Axial view; Head; Slice index 58
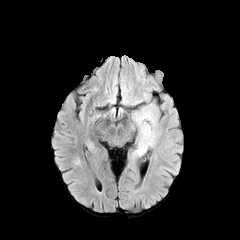
FLAIR MR.
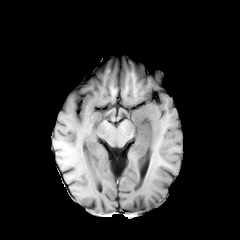
T1-weighted MR image.
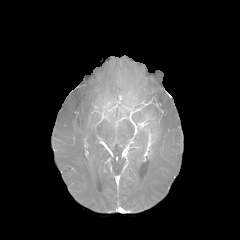
Post-contrast T1-weighted MRI.
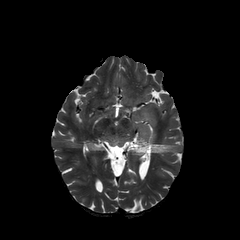
T2-weighted MR.
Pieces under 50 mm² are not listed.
Findings:
* enhancing tumor: [134,113,156,145]
* peritumoral edema: [133,131,147,156], [132,104,159,148]